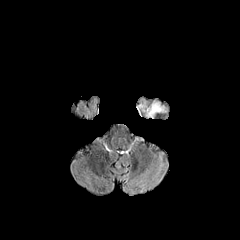
FLAIR MRI.
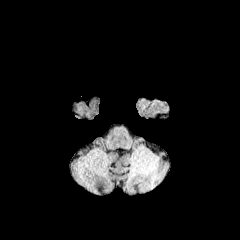
T1-weighted MRI.
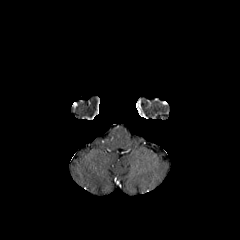
Post-contrast T1-weighted magnetic resonance.
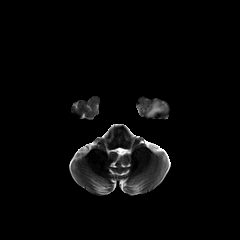
Same slice, T2-weighted MR.
Brain.
{
  "peritumoral_edema": [
    {"x1": 147, "y1": 102, "x2": 164, "y2": 116}
  ]
}